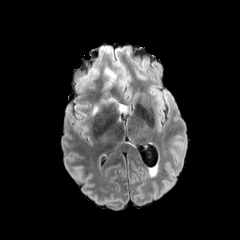
FLAIR MR image.
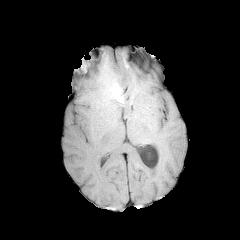
T1-weighted MRI of the same slice.
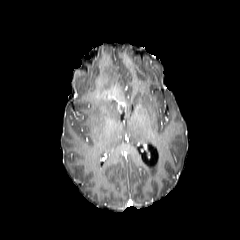
Post-contrast T1-weighted MR.
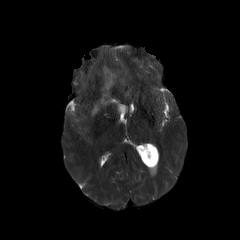
Same slice, T2-weighted MRI.
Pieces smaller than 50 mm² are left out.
Annotated regions:
- peritumoral edema: 106, 69, 114, 87
- enhancing tumor: 118, 103, 126, 112